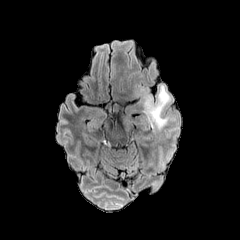
FLAIR MR.
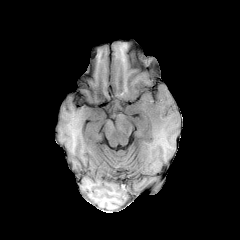
T1-weighted MR image of the same slice.
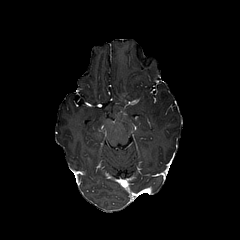
Same slice, post-contrast T1-weighted MR.
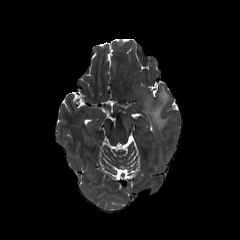
T2-weighted MR.
240x240
<segmentation>
  <peritumoral_edema>[122,116,131,129], [144,86,170,129]</peritumoral_edema>
</segmentation>